Axial slice, Slice index 92
FLAIR magnetic resonance.
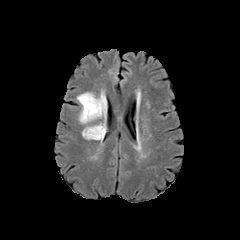
T1-weighted MRI.
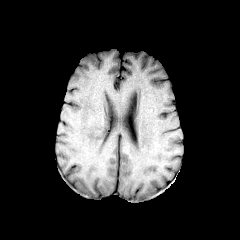
Post-contrast T1-weighted MR.
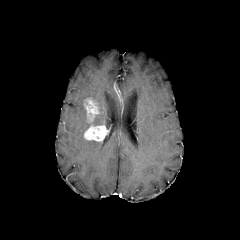
T2-weighted magnetic resonance.
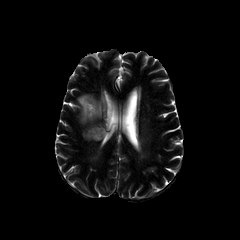
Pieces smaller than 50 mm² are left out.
2 enhancing tumor regions appear at 84, 98, 99, 121; 84, 125, 107, 141. The largest peritumoral edema region is at 77, 92, 107, 125.